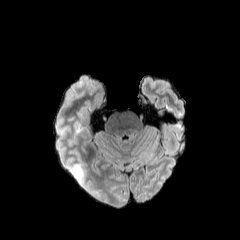
FLAIR MRI.
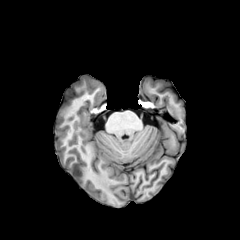
T1-weighted MR image of the same slice.
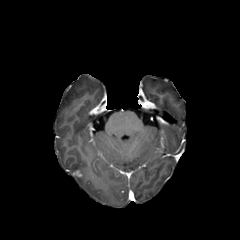
Post-contrast T1-weighted magnetic resonance of the same slice.
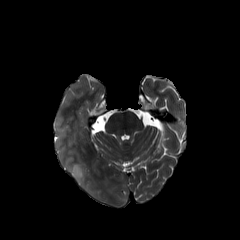
T2-weighted MR of the same slice.
240x240, Head, Axial slice
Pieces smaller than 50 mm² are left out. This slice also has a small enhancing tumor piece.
peritumoral_edema:
  - bbox(70, 165, 88, 188)